Slice 99 of 155 | 240x240 | Head | Axial view
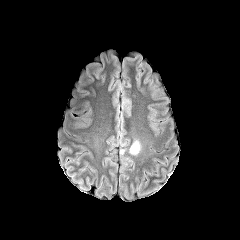
FLAIR MR.
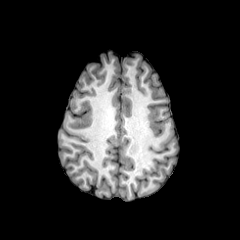
T1-weighted MRI of the same slice.
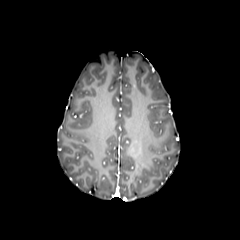
Post-contrast T1-weighted MRI.
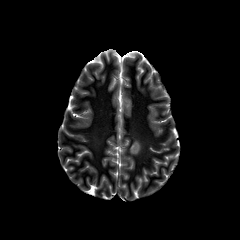
T2-weighted magnetic resonance.
peritumoral edema: (x1=120, y1=138, x2=142, y2=155)